FLAIR MR.
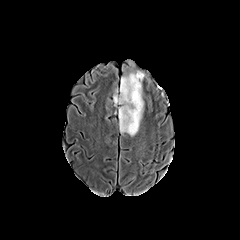
T1-weighted magnetic resonance.
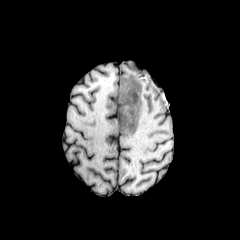
Post-contrast T1-weighted MR image.
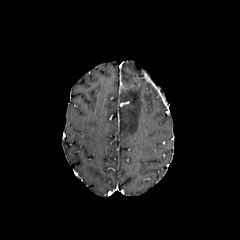
T2-weighted MRI.
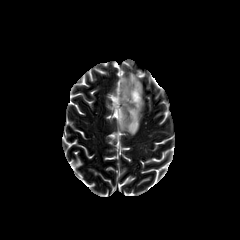
Brain
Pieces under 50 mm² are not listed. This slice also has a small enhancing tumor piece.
The peritumoral edema is at (x1=113, y1=70, x2=144, y2=136).